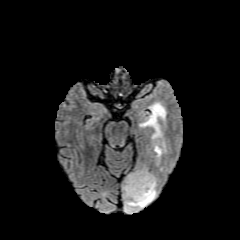
FLAIR MRI.
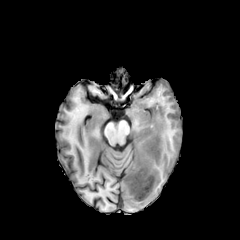
T1-weighted MRI of the same slice.
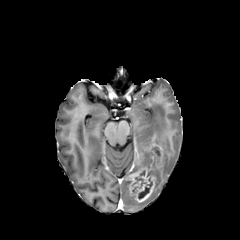
Post-contrast T1-weighted MR image of the same slice.
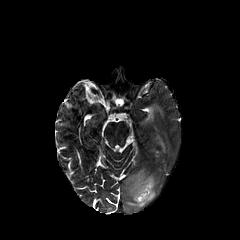
T2-weighted MR.
Head
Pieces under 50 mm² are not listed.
2 enhancing tumor regions are located at 126,167,155,202; 147,134,162,155. The 2 largest peritumoral edema regions are located at 140,102,166,159; 122,178,157,212. The largest necrotic tumor core region is at 138,179,152,199.